Image width 240 mm. Slice index 44. 240x240 px. Brain. Axial plane.
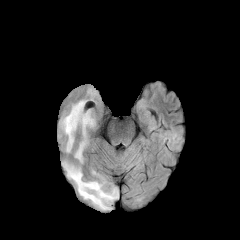
FLAIR MRI.
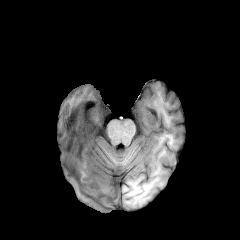
T1-weighted MR.
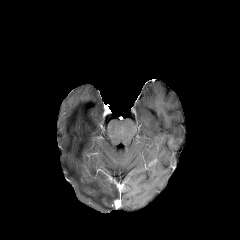
Post-contrast T1-weighted magnetic resonance.
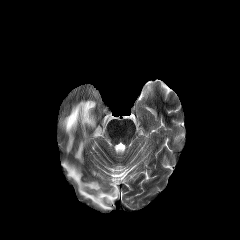
T2-weighted MRI.
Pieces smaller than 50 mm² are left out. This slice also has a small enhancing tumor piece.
* peritumoral edema: {"x1": 62, "y1": 161, "x2": 118, "y2": 209}, {"x1": 60, "y1": 100, "x2": 95, "y2": 162}